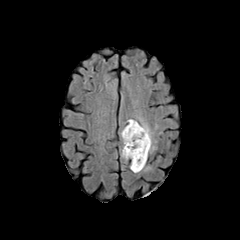
FLAIR MRI.
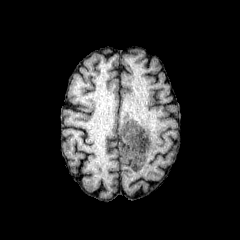
T1-weighted MR.
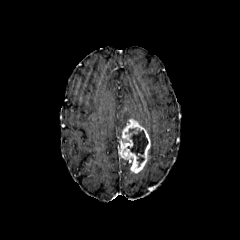
Post-contrast T1-weighted magnetic resonance.
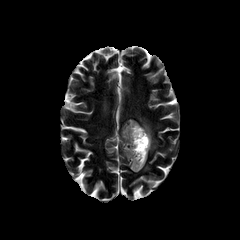
Same slice, T2-weighted magnetic resonance.
Head | Axial slice
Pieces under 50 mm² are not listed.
The largest peritumoral edema region is located at <box>138,117,156,152</box>. The enhancing tumor is bounded by <box>120,119,150,173</box>. The largest necrotic tumor core region appears at <box>127,130,148,155</box>.